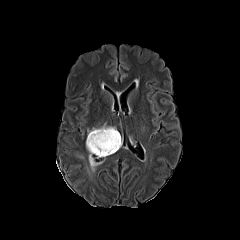
FLAIR magnetic resonance.
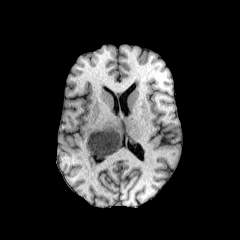
T1-weighted MR.
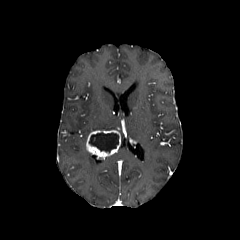
Same slice, post-contrast T1-weighted MR.
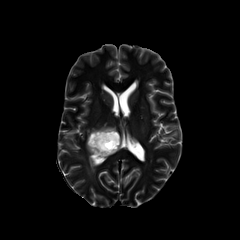
T2-weighted MRI.
Head, Axial view, Image size 240x240
peritumoral edema: bounding box 87 123 115 135, 88 153 100 172
enhancing tumor: bounding box 86 129 121 159
necrotic tumor core: bounding box 89 132 118 153